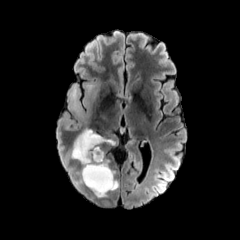
FLAIR MR.
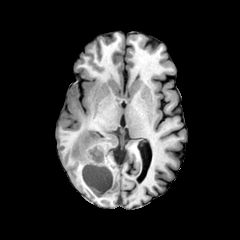
T1-weighted MR image.
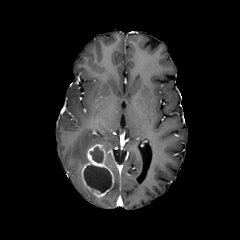
Post-contrast T1-weighted magnetic resonance of the same slice.
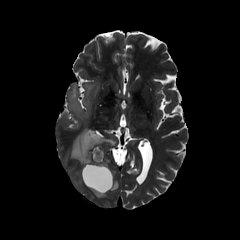
T2-weighted magnetic resonance.
240x240 px
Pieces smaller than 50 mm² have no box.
* peritumoral edema: left=68, top=79, right=115, bottom=165; left=110, top=178, right=118, bottom=190
* necrotic tumor core: left=84, top=165, right=111, bottom=192; left=90, top=146, right=103, bottom=162
* enhancing tumor: left=81, top=144, right=113, bottom=198